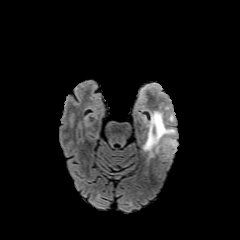
FLAIR magnetic resonance.
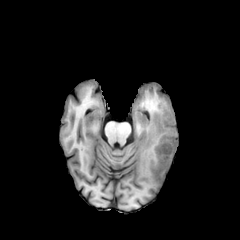
T1-weighted magnetic resonance of the same slice.
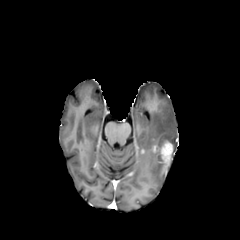
Post-contrast T1-weighted magnetic resonance.
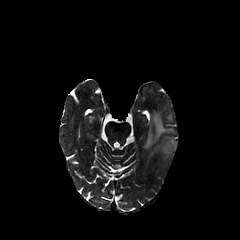
T2-weighted MRI.
Axial view
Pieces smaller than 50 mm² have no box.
The 2 largest peritumoral edema regions are located at box=[164, 138, 176, 150]; box=[143, 111, 175, 156]. The largest enhancing tumor region lies within box=[159, 141, 172, 166].